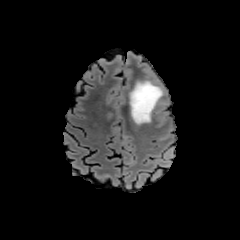
FLAIR MR image.
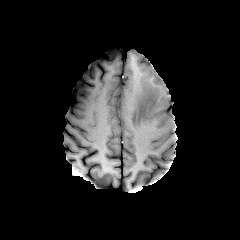
T1-weighted MR image of the same slice.
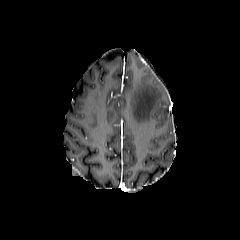
Post-contrast T1-weighted magnetic resonance.
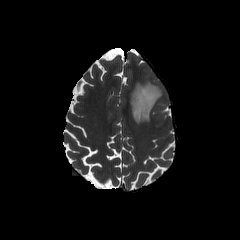
T2-weighted magnetic resonance of the same slice.
Head.
peritumoral edema: bounding box box=[129, 80, 163, 124]